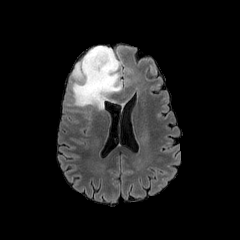
FLAIR MRI.
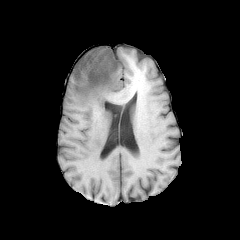
T1-weighted MRI.
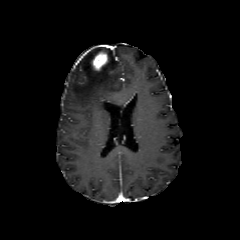
Post-contrast T1-weighted MRI of the same slice.
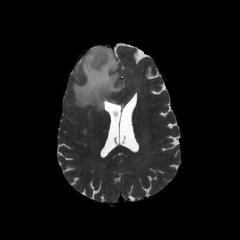
T2-weighted magnetic resonance of the same slice.
Axial plane.
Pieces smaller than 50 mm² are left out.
peritumoral edema: bounding box x1=71 y1=46 x2=122 y2=110
enhancing tumor: bounding box x1=92 y1=51 x2=108 y2=70